FLAIR MR image.
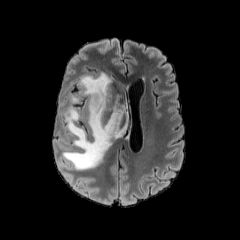
T1-weighted MR image.
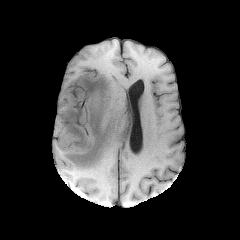
Post-contrast T1-weighted MR image.
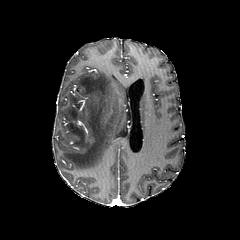
T2-weighted magnetic resonance.
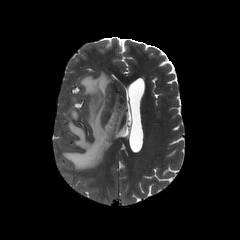
240x240, Axial view
Segmented structures:
* peritumoral edema: [63, 72, 126, 170]